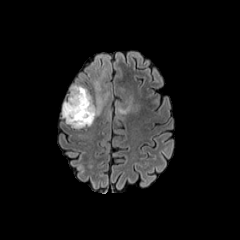
FLAIR magnetic resonance.
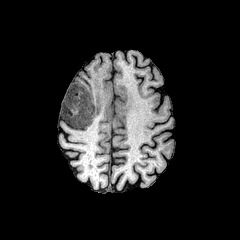
T1-weighted MR image.
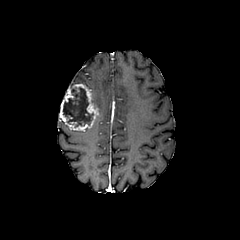
Post-contrast T1-weighted MR.
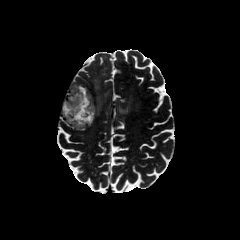
Same slice, T2-weighted magnetic resonance.
Brain. Axial plane.
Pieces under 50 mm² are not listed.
Segmented structures:
• necrotic tumor core: rect(63, 87, 93, 126)
• peritumoral edema: rect(116, 99, 138, 114); rect(93, 58, 113, 118)
• enhancing tumor: rect(59, 84, 98, 130)